Slice 106/155; 240x240 px
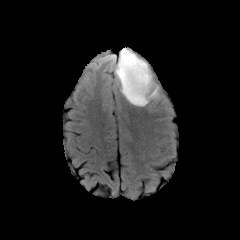
FLAIR MR.
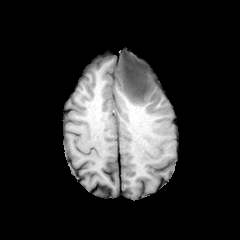
T1-weighted MR.
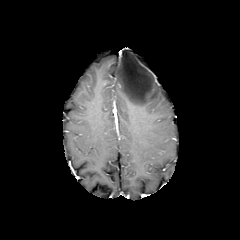
Same slice, post-contrast T1-weighted magnetic resonance.
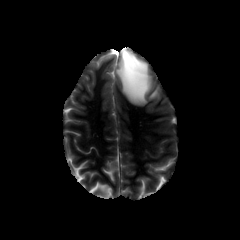
T2-weighted magnetic resonance.
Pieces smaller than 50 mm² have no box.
The largest peritumoral edema region appears at box=[114, 48, 160, 106].